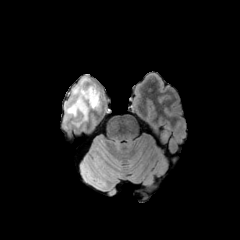
FLAIR MR image.
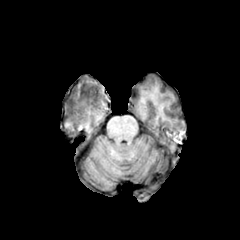
T1-weighted MR of the same slice.
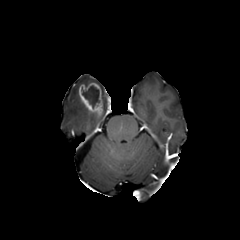
Post-contrast T1-weighted MRI.
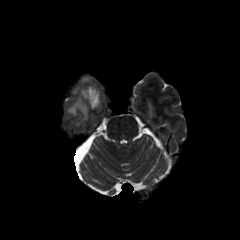
T2-weighted MRI.
Axial view | Head
{
  "necrotic_tumor_core": [
    "box=[82, 85, 99, 108]"
  ],
  "peritumoral_edema": [
    "box=[65, 77, 93, 125]"
  ],
  "enhancing_tumor": [
    "box=[78, 83, 102, 114]"
  ]
}